FLAIR MR.
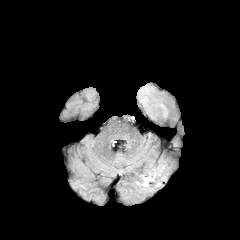
T1-weighted MR.
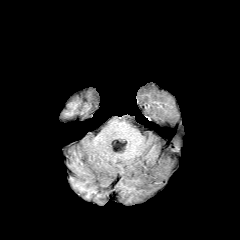
Post-contrast T1-weighted magnetic resonance.
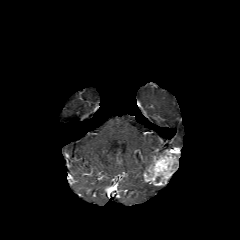
T2-weighted MRI.
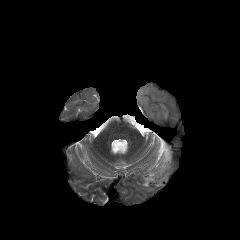
Image size 240x240; Brain
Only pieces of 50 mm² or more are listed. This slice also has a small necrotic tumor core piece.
Annotated regions:
• peritumoral edema: <box>136,175,150,190</box>
• enhancing tumor: <box>143,149,177,185</box>